FLAIR MR.
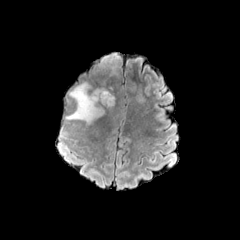
T1-weighted MRI.
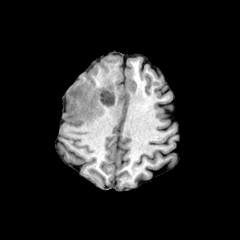
Post-contrast T1-weighted MR image.
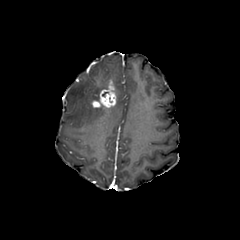
T2-weighted magnetic resonance.
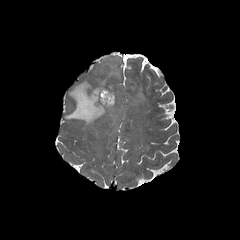
Head
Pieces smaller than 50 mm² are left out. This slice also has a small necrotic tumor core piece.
The 2 largest peritumoral edema regions appear at 136,86,144,102; 65,54,119,125. The enhancing tumor appears at 89,81,115,108.